Head.
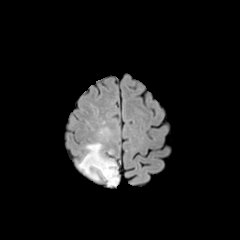
FLAIR MR.
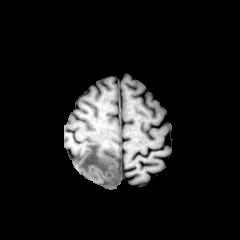
T1-weighted MRI.
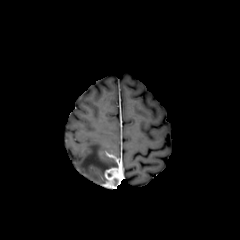
Post-contrast T1-weighted MRI of the same slice.
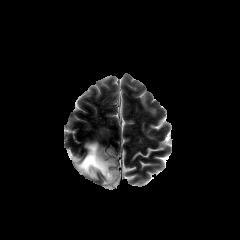
Same slice, T2-weighted MR image.
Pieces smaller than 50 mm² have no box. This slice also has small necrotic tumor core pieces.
enhancing_tumor:
  - box=[104, 168, 120, 187]
peritumoral_edema:
  - box=[78, 143, 116, 179]